FLAIR magnetic resonance.
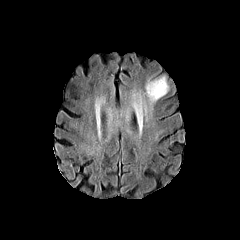
T1-weighted MR image.
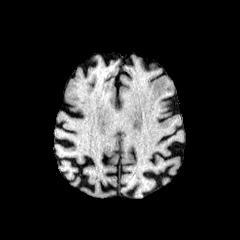
Post-contrast T1-weighted MR image.
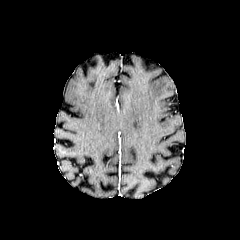
T2-weighted magnetic resonance.
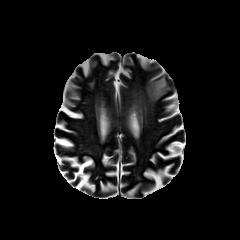
240x240.
peritumoral edema: bounding box <bbox>132, 93, 147, 118</bbox>, <bbox>145, 77, 168, 104</bbox>